Slice index 90. Image width 240 mm. Head. Axial plane. 240x240.
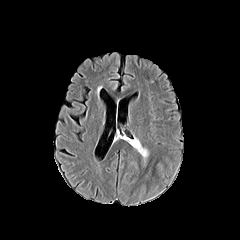
FLAIR magnetic resonance.
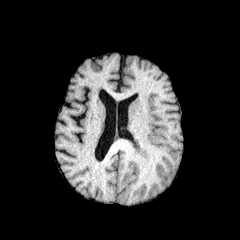
Same slice, T1-weighted MRI.
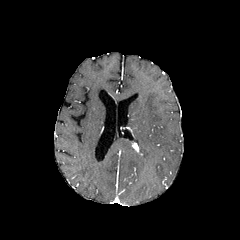
Post-contrast T1-weighted magnetic resonance of the same slice.
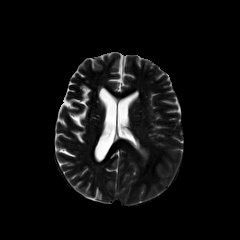
T2-weighted MRI.
<segmentation>
  <peritumoral_edema>137, 140, 147, 158</peritumoral_edema>
</segmentation>